240x240. Slice 127 of 155. Axial view.
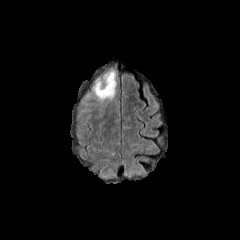
FLAIR MRI.
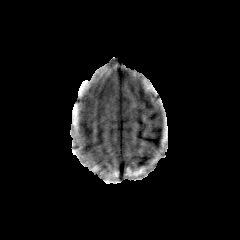
Same slice, T1-weighted magnetic resonance.
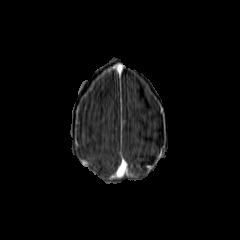
Same slice, post-contrast T1-weighted magnetic resonance.
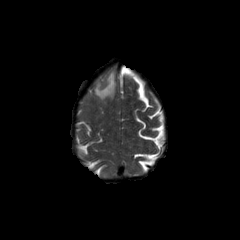
T2-weighted MRI.
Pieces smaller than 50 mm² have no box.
The largest peritumoral edema region is at (93,70,116,100).